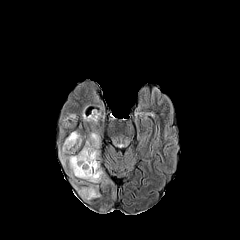
FLAIR MR image.
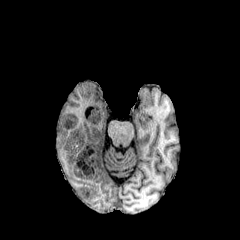
Same slice, T1-weighted magnetic resonance.
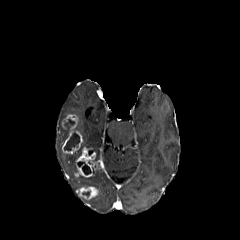
Post-contrast T1-weighted MR.
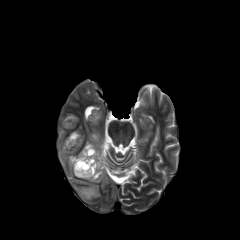
Same slice, T2-weighted magnetic resonance.
Head.
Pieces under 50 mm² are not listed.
Annotated regions:
• necrotic tumor core: <box>64,119,74,129</box>, <box>64,132,79,150</box>, <box>77,161,91,174</box>, <box>88,149,99,161</box>
• enhancing tumor: <box>77,186,98,199</box>, <box>62,114,82,153</box>, <box>74,146,102,177</box>
• peritumoral edema: <box>59,149,81,176</box>, <box>83,110,101,123</box>, <box>85,132,99,151</box>, <box>77,169,103,183</box>